Slice index 116, Brain, Axial slice
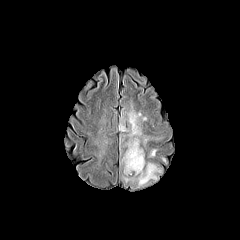
FLAIR MR image.
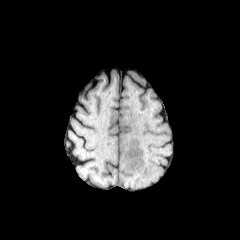
T1-weighted MRI of the same slice.
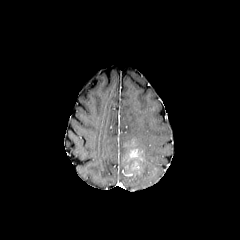
Post-contrast T1-weighted MRI.
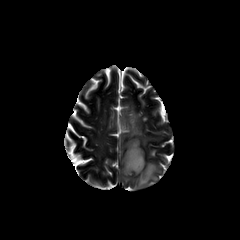
T2-weighted MR.
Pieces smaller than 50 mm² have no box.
Annotated regions:
• enhancing tumor: bbox=[123, 137, 143, 173]
• peritumoral edema: bbox=[92, 132, 108, 152]; bbox=[97, 114, 107, 125]; bbox=[119, 101, 163, 188]